FLAIR MRI.
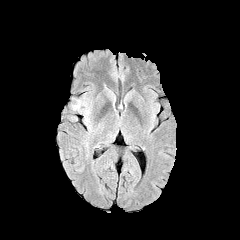
T1-weighted MR image.
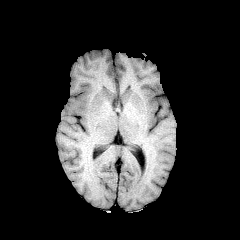
Post-contrast T1-weighted magnetic resonance.
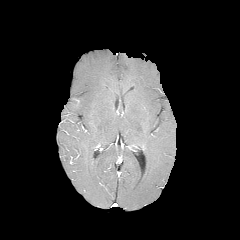
T2-weighted MR.
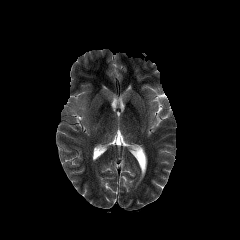
Axial plane
Annotated regions:
• peritumoral edema: x1=71, y1=98, x2=89, y2=124